FLAIR MR.
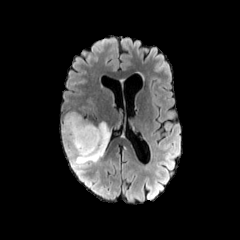
T1-weighted MR.
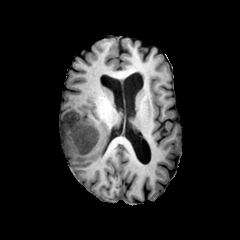
Post-contrast T1-weighted MR.
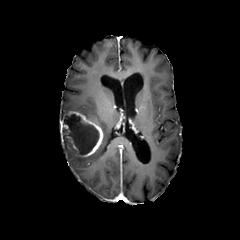
T2-weighted magnetic resonance.
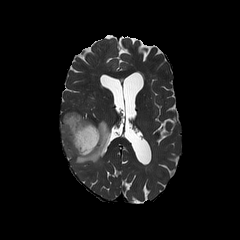
Brain
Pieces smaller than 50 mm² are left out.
* necrotic tumor core: (64, 113, 99, 154)
* peritumoral edema: (63, 120, 111, 168)
* enhancing tumor: (60, 111, 103, 157)